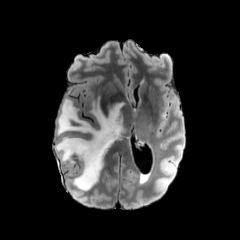
FLAIR MR.
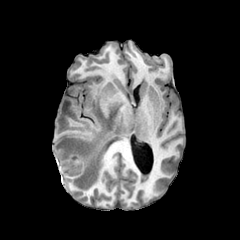
T1-weighted MR image.
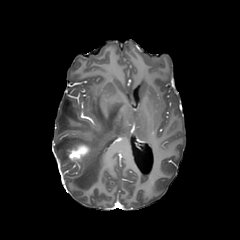
Post-contrast T1-weighted MR image.
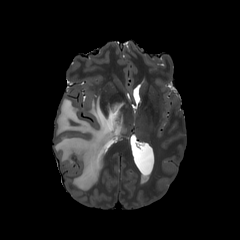
T2-weighted magnetic resonance.
Axial slice, Brain
{
  "peritumoral_edema": [
    "(54,97,125,190)"
  ],
  "enhancing_tumor": [
    "(67,144,90,161)"
  ]
}